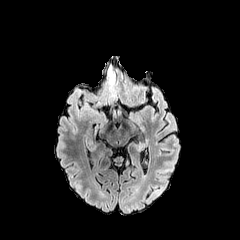
FLAIR MRI.
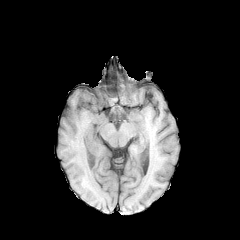
Same slice, T1-weighted magnetic resonance.
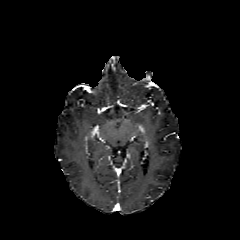
Post-contrast T1-weighted MRI.
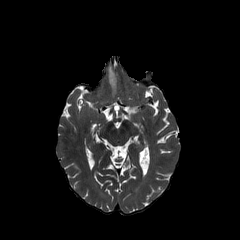
T2-weighted magnetic resonance.
* peritumoral edema: left=108, top=66, right=115, bottom=91